FLAIR MRI.
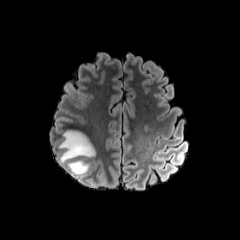
T1-weighted MR.
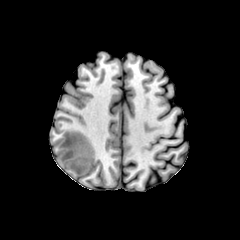
Post-contrast T1-weighted MR image.
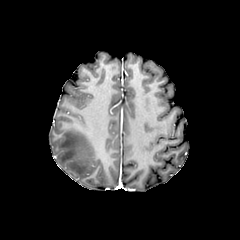
T2-weighted magnetic resonance.
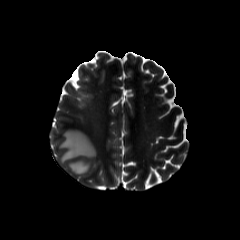
Head.
peritumoral_edema:
  - 58,130,95,176